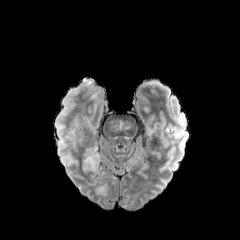
FLAIR MR image.
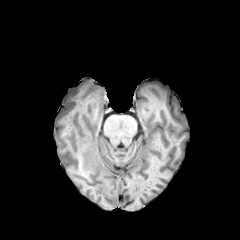
Same slice, T1-weighted MR.
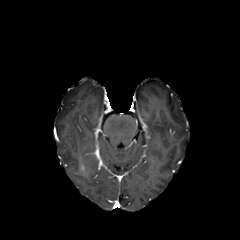
Post-contrast T1-weighted magnetic resonance.
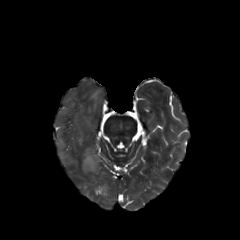
T2-weighted MRI.
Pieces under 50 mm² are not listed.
peritumoral_edema:
  - left=83, top=149, right=100, bottom=170